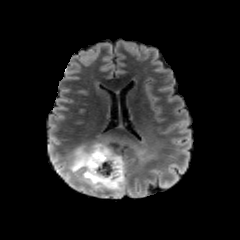
FLAIR magnetic resonance.
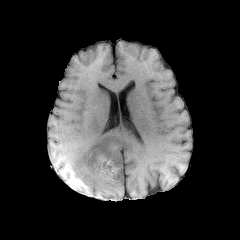
T1-weighted MRI.
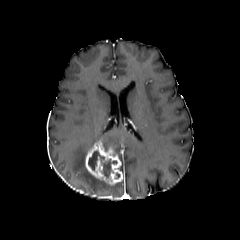
Post-contrast T1-weighted MRI.
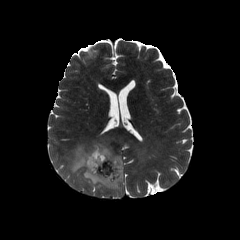
T2-weighted MR.
Axial slice.
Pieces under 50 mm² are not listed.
<segmentation>
  <enhancing_tumor>{"x1": 85, "y1": 142, "x2": 124, "y2": 185}</enhancing_tumor>
  <peritumoral_edema>{"x1": 68, "y1": 141, "x2": 124, "y2": 190}</peritumoral_edema>
  <necrotic_tumor_core>{"x1": 89, "y1": 151, "x2": 115, "y2": 178}</necrotic_tumor_core>
</segmentation>